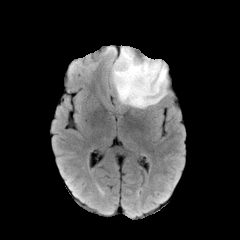
FLAIR MR image.
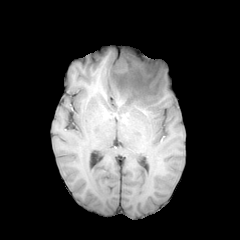
Same slice, T1-weighted MR.
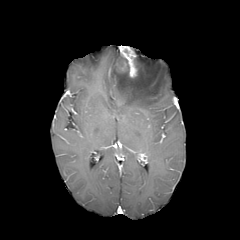
Post-contrast T1-weighted MR image of the same slice.
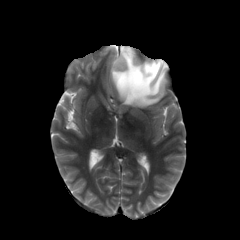
Same slice, T2-weighted magnetic resonance.
Brain. Axial slice.
Segmented structures:
* peritumoral edema: <box>112,55,167,107</box>
* enhancing tumor: <box>120,46,137,77</box>